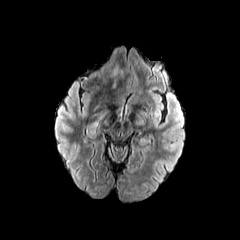
FLAIR MR image.
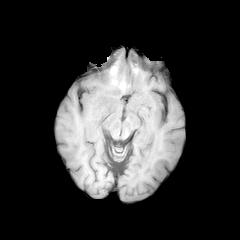
T1-weighted magnetic resonance.
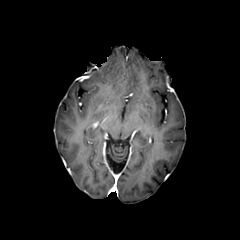
Post-contrast T1-weighted MR image.
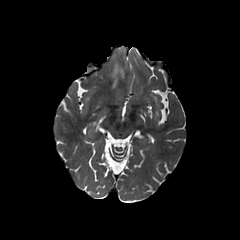
T2-weighted MR.
240x240 px
The peritumoral edema lies within (112,66,123,88).